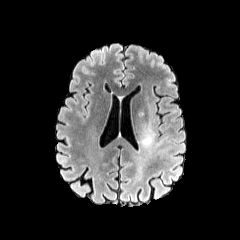
FLAIR MRI.
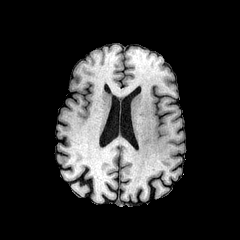
T1-weighted MR.
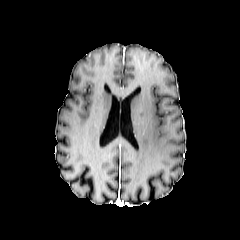
Post-contrast T1-weighted MRI.
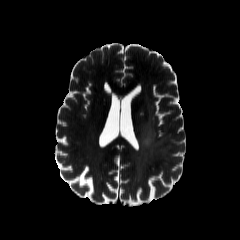
T2-weighted MRI.
Head.
The peritumoral edema appears at x1=140 y1=122 x2=155 y2=147.